Image width 240 mm; Brain; Axial view
FLAIR MRI.
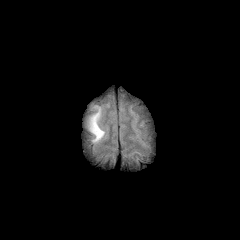
T1-weighted MRI.
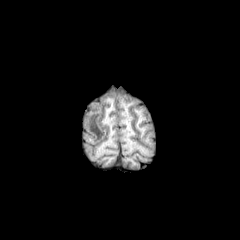
Post-contrast T1-weighted MRI.
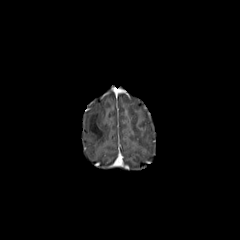
T2-weighted MR image.
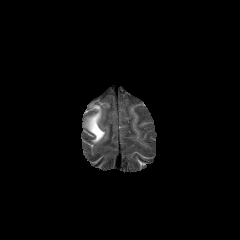
peritumoral edema: rect(87, 106, 104, 142)